Slice index 118; Head; Axial plane; 240x240
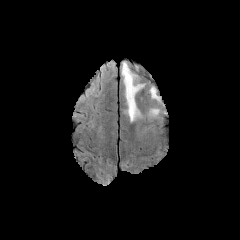
FLAIR MRI.
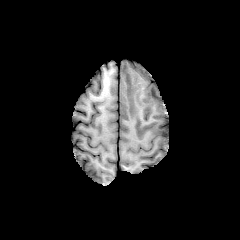
Same slice, T1-weighted MRI.
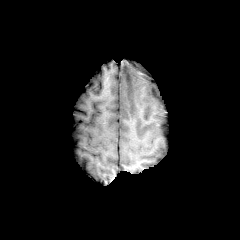
Post-contrast T1-weighted MR.
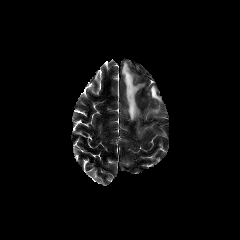
T2-weighted magnetic resonance of the same slice.
peritumoral edema at <bbox>150, 109, 159, 115</bbox>, <bbox>122, 62, 144, 121</bbox>, <bbox>150, 86, 160, 101</bbox>